Axial plane; 240x240
FLAIR MRI.
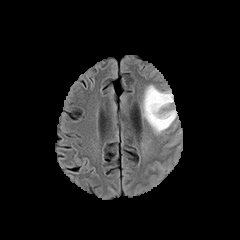
T1-weighted MR image.
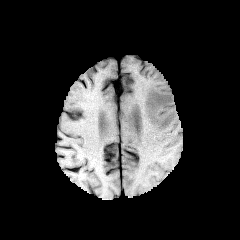
Post-contrast T1-weighted MRI.
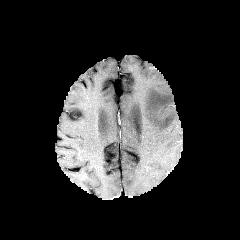
T2-weighted MRI.
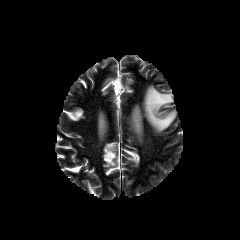
Findings:
• peritumoral edema: l=143, t=85, r=176, b=134